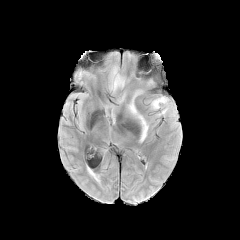
FLAIR MR image.
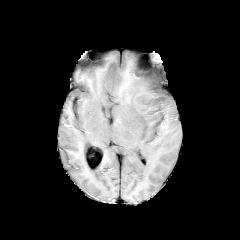
T1-weighted MRI of the same slice.
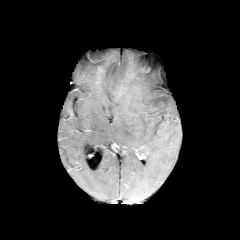
Same slice, post-contrast T1-weighted magnetic resonance.
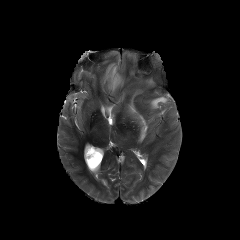
T2-weighted magnetic resonance.
Axial view. 240x240 px.
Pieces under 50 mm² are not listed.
peritumoral edema — rect(104, 49, 161, 141); rect(151, 96, 167, 108)